FLAIR MRI.
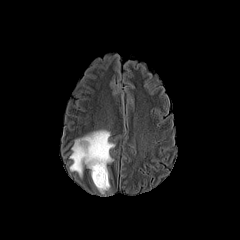
T1-weighted MRI.
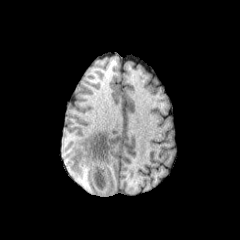
Post-contrast T1-weighted MR image.
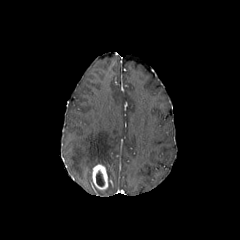
T2-weighted magnetic resonance.
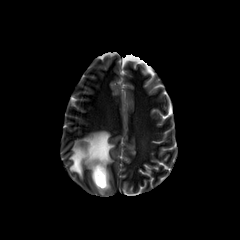
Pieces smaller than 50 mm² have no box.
{"enhancing_tumor": ["bbox(92, 164, 108, 190)"], "necrotic_tumor_core": ["bbox(96, 171, 104, 186)"], "peritumoral_edema": ["bbox(70, 130, 114, 180)"]}